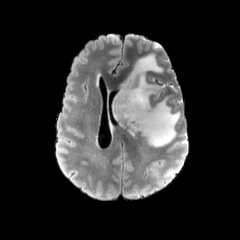
FLAIR MRI.
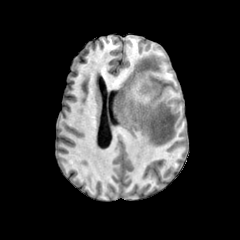
Same slice, T1-weighted MR image.
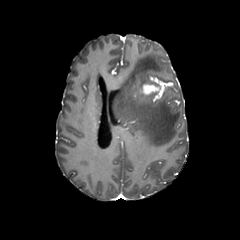
Post-contrast T1-weighted magnetic resonance.
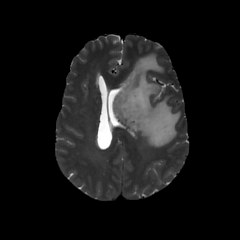
T2-weighted MR image.
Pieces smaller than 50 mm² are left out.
peritumoral edema — 113,54,180,147
enhancing tumor — 141,82,161,94